Head | Axial plane
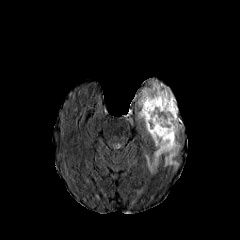
FLAIR MR image.
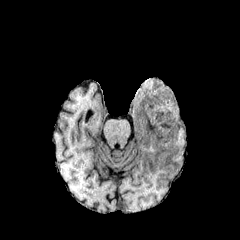
T1-weighted MR image.
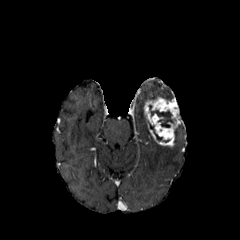
Post-contrast T1-weighted magnetic resonance of the same slice.
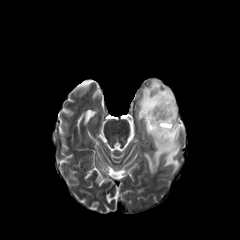
T2-weighted MRI of the same slice.
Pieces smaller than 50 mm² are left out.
enhancing tumor = <bbox>143, 97, 180, 147</bbox>
peritumoral edema = <bbox>138, 81, 173, 133</bbox>, <bbox>145, 139, 180, 174</bbox>
necrotic tumor core = <bbox>149, 105, 175, 127</bbox>, <bbox>148, 121, 169, 142</bbox>